FLAIR MR image.
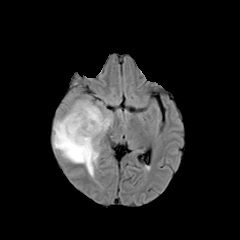
T1-weighted magnetic resonance.
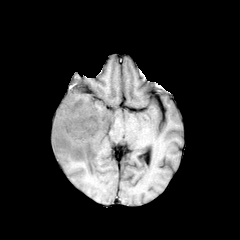
Post-contrast T1-weighted magnetic resonance.
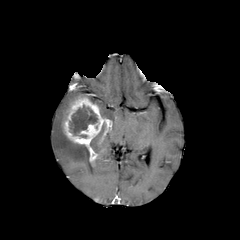
T2-weighted magnetic resonance.
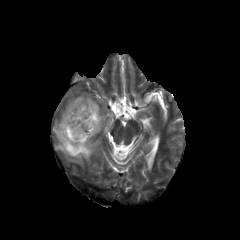
240x240 px
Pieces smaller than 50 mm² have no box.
The largest necrotic tumor core region appears at x1=69, y1=105, x2=97, y2=135. The 2 largest peritumoral edema regions are located at x1=53, y1=113, x2=104, y2=176; x1=100, y1=109, x2=113, y2=122. The largest enhancing tumor region is located at x1=62, y1=97, x2=112, y2=163.